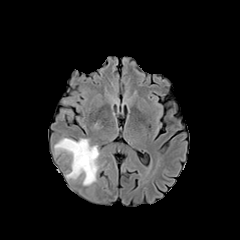
FLAIR MR.
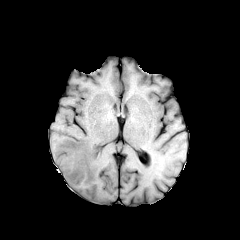
T1-weighted MRI.
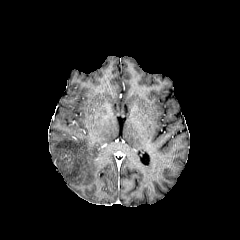
Post-contrast T1-weighted MR image.
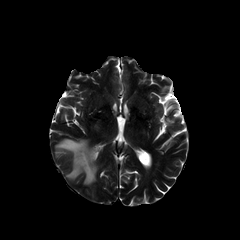
T2-weighted magnetic resonance of the same slice.
Image size 240x240
peritumoral edema: <box>54,138,98,185</box>